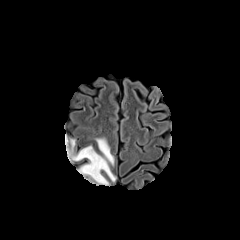
FLAIR MR.
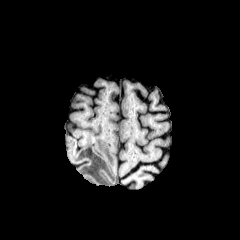
T1-weighted MR image.
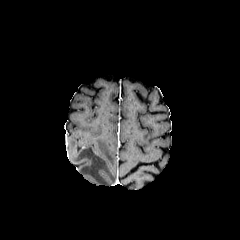
Post-contrast T1-weighted magnetic resonance.
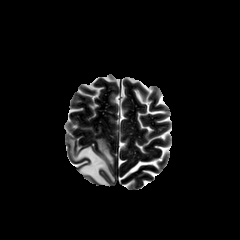
T2-weighted MR.
Brain; Axial view
Segmented structures:
* peritumoral edema: [x1=70, y1=138, x2=115, y2=185]